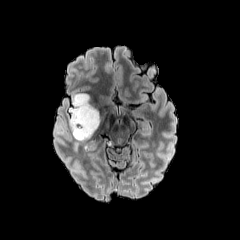
FLAIR magnetic resonance.
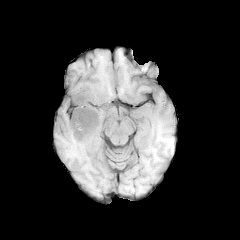
T1-weighted MR image of the same slice.
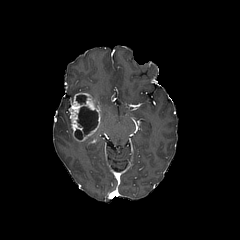
Same slice, post-contrast T1-weighted magnetic resonance.
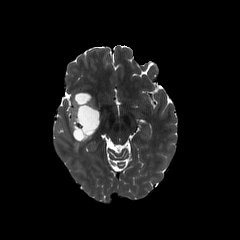
Same slice, T2-weighted magnetic resonance.
240x240 px. Axial plane.
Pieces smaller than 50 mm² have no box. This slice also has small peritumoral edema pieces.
enhancing_tumor:
  - [x1=70, y1=92, x2=100, y2=141]
necrotic_tumor_core:
  - [x1=77, y1=106, x2=98, y2=134]
  - [x1=74, y1=129, x2=83, y2=139]
  - [x1=76, y1=95, x2=86, y2=104]